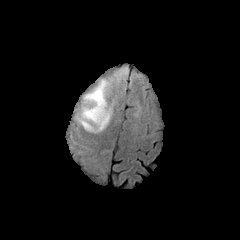
FLAIR MR.
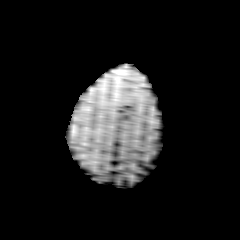
T1-weighted MR.
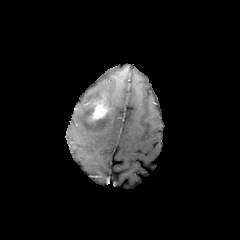
Post-contrast T1-weighted MRI.
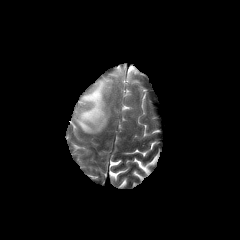
T2-weighted MRI.
240x240 px; Axial plane; Brain
<segmentation>
  <enhancing_tumor>92,100,107,120</enhancing_tumor>
  <peritumoral_edema>75,79,112,132</peritumoral_edema>
</segmentation>